FLAIR MRI.
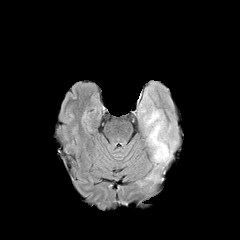
T1-weighted MR image.
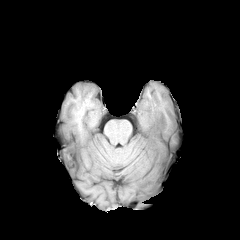
Post-contrast T1-weighted MRI.
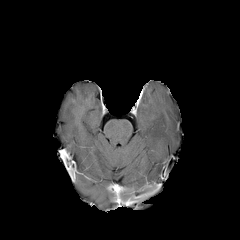
T2-weighted MRI.
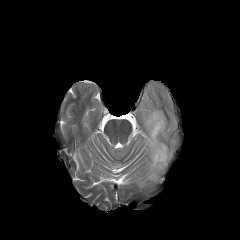
Head | Axial slice
peritumoral edema at bbox=[141, 108, 176, 180]